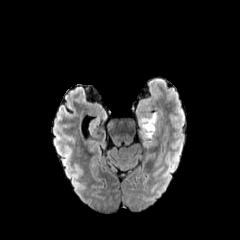
FLAIR magnetic resonance.
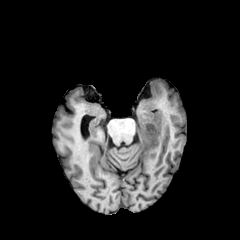
T1-weighted MRI.
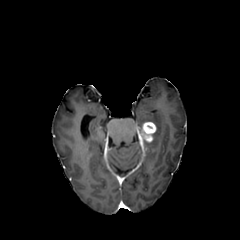
Post-contrast T1-weighted MR image.
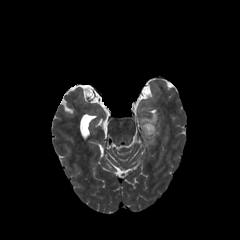
T2-weighted magnetic resonance.
240x240
The peritumoral edema is located at (139, 113, 158, 147). The enhancing tumor appears at (139, 122, 156, 145).